Image width 240 mm; Slice index 59; Axial slice
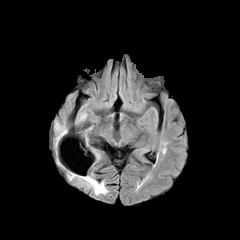
FLAIR MRI.
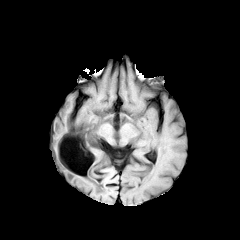
T1-weighted MR.
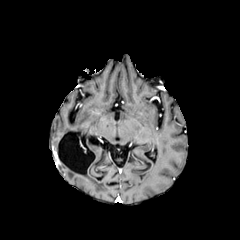
Post-contrast T1-weighted MR.
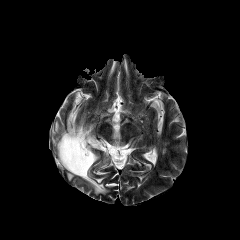
T2-weighted MR image of the same slice.
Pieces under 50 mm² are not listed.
The 2 largest peritumoral edema regions are bounded by rect(55, 122, 66, 145); rect(79, 174, 107, 194).